FLAIR MR image.
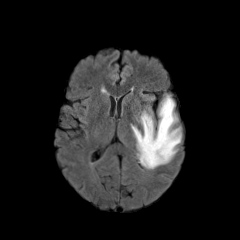
T1-weighted magnetic resonance.
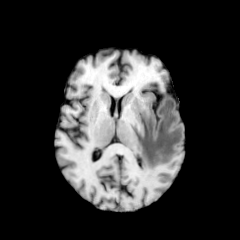
Post-contrast T1-weighted MR.
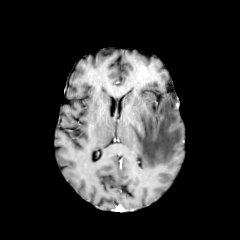
T2-weighted MR image.
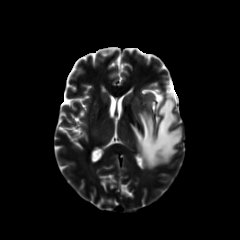
240x240 px
peritumoral_edema:
  - left=133, top=97, right=181, bottom=167